Image width 240 mm. Axial plane.
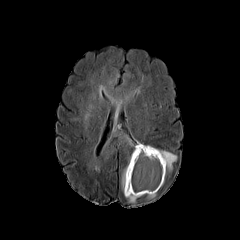
FLAIR MR image.
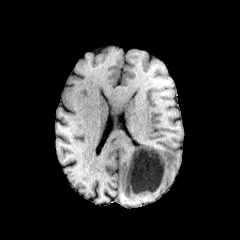
T1-weighted MR image of the same slice.
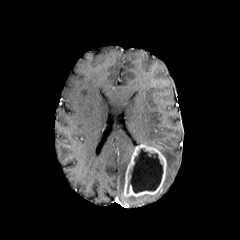
Post-contrast T1-weighted MRI.
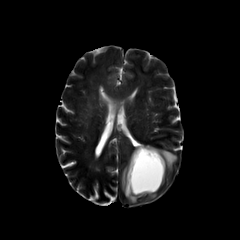
T2-weighted magnetic resonance of the same slice.
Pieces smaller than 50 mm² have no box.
necrotic tumor core = region(127, 149, 162, 193)
peritumoral edema = region(158, 149, 177, 171); region(126, 196, 138, 202); region(97, 131, 133, 169); region(121, 167, 126, 191)
enhancing tumor = region(124, 144, 166, 196)